Slice index 53, Axial view
FLAIR magnetic resonance.
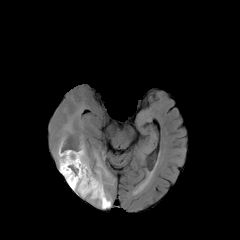
T1-weighted magnetic resonance.
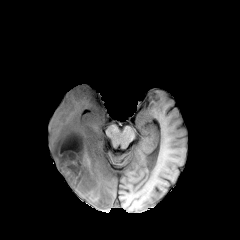
Post-contrast T1-weighted MR image.
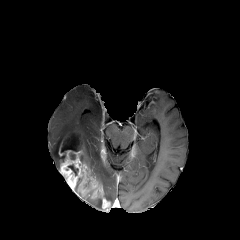
T2-weighted MR image.
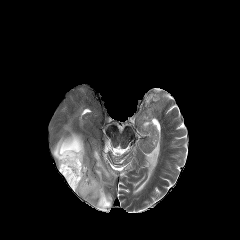
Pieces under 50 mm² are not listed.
Segmented structures:
- necrotic tumor core: (x1=61, y1=134, x2=80, y2=152), (x1=68, y1=165, x2=78, y2=175)
- peritumoral edema: (x1=86, y1=197, x2=102, y2=209), (x1=52, y1=115, x2=78, y2=168), (x1=82, y1=135, x2=114, y2=206)
- enhancing tumor: (x1=58, y1=131, x2=110, y2=210)